Slice 135/155, Brain, 240x240, Axial plane
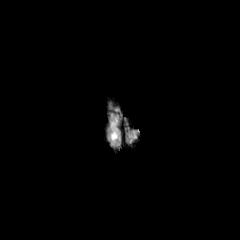
FLAIR MR image.
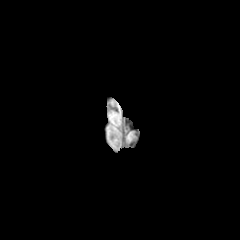
Same slice, T1-weighted MR image.
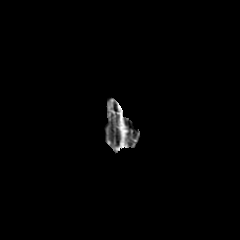
Post-contrast T1-weighted MR.
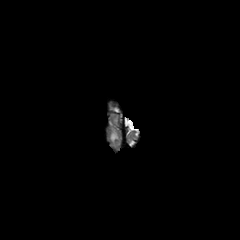
T2-weighted MR of the same slice.
peritumoral edema: bounding box (109, 116, 119, 143)